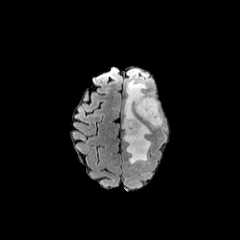
FLAIR MRI.
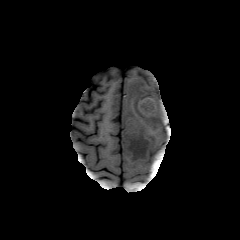
T1-weighted MR image.
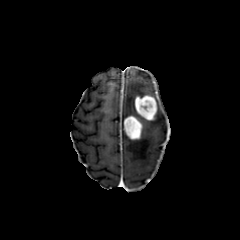
Post-contrast T1-weighted MR image.
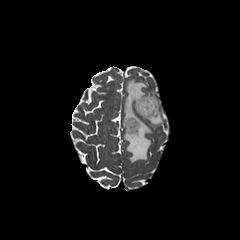
T2-weighted MR image.
Axial slice
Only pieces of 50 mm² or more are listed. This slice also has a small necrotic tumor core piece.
{"peritumoral_edema": [{"x1": 149, "y1": 102, "x2": 163, "y2": 126}, {"x1": 124, "y1": 120, "x2": 150, "y2": 163}, {"x1": 124, "y1": 78, "x2": 154, "y2": 117}], "enhancing_tumor": [{"x1": 135, "y1": 95, "x2": 157, "y2": 120}, {"x1": 124, "y1": 115, "x2": 142, "y2": 139}]}